Image width 240 mm, 1.00 mm slice spacing | Axial view | Brain | Slice 120/155 | 240x240 px
FLAIR MR.
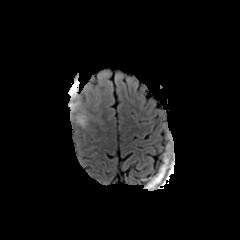
T1-weighted MR image.
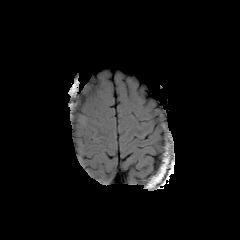
Post-contrast T1-weighted MR image.
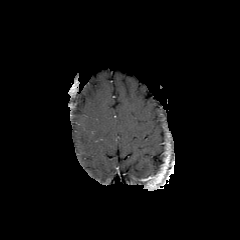
T2-weighted MRI.
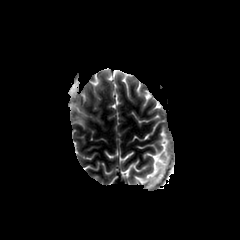
The peritumoral edema is located at region(72, 105, 91, 128).